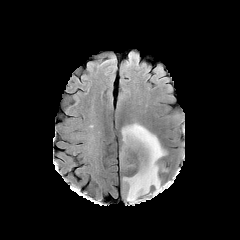
FLAIR MR.
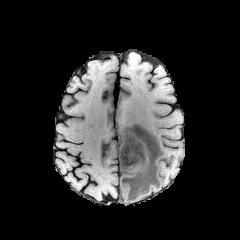
T1-weighted MRI of the same slice.
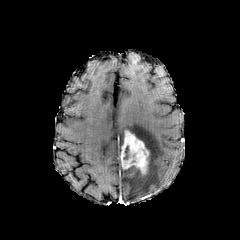
Same slice, post-contrast T1-weighted MR.
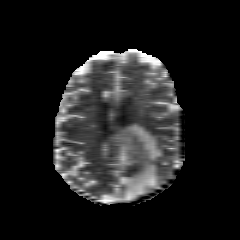
T2-weighted MRI of the same slice.
Image size 240x240, Brain
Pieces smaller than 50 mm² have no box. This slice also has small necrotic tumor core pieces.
The enhancing tumor is bounded by 120:130:149:175. The peritumoral edema is at 121:123:165:201.